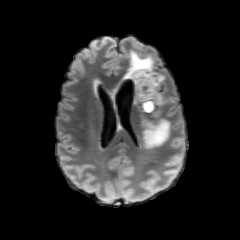
FLAIR MR.
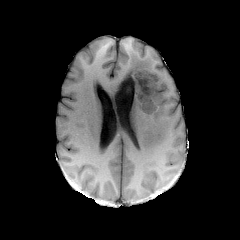
T1-weighted MR of the same slice.
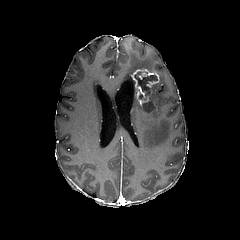
Post-contrast T1-weighted magnetic resonance.
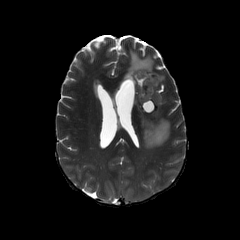
T2-weighted MR image of the same slice.
Image size 240x240, Axial plane, Head
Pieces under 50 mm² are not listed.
peritumoral_edema:
  - <bbox>143, 119, 170, 148</bbox>
  - <bbox>114, 50, 154, 89</bbox>
  - <bbox>153, 74, 164, 104</bbox>
enhancing_tumor:
  - <bbox>128, 68, 159, 107</bbox>
necrotic_tumor_core:
  - <bbox>134, 72, 157, 112</bbox>